FLAIR magnetic resonance.
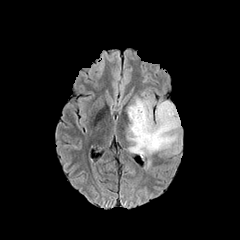
T1-weighted MR image.
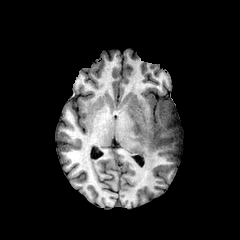
Post-contrast T1-weighted MR image.
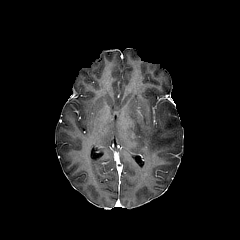
T2-weighted MR image.
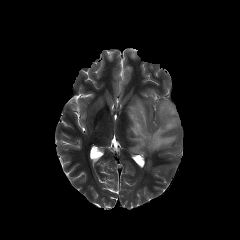
Axial plane | Brain | 240x240 px
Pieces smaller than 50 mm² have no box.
<segmentation>
  <peritumoral_edema>region(127, 98, 180, 155)</peritumoral_edema>
</segmentation>